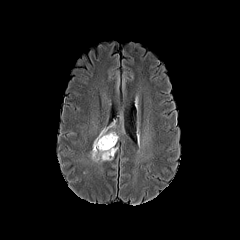
FLAIR MR.
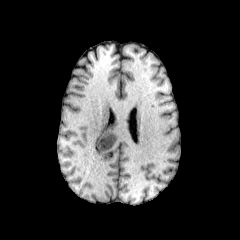
T1-weighted MRI.
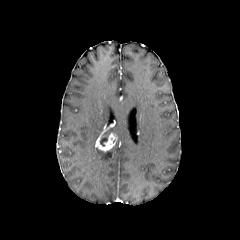
Post-contrast T1-weighted MR.
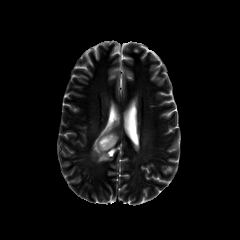
T2-weighted MR image.
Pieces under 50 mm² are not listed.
enhancing tumor — 95, 133, 117, 151
necrotic tumor core — 100, 136, 107, 146
peritumoral edema — 91, 140, 117, 161